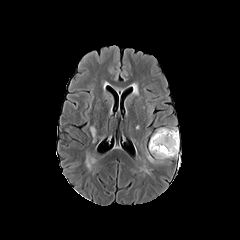
FLAIR magnetic resonance.
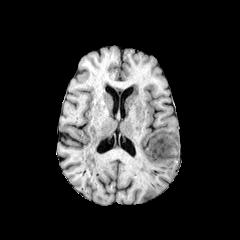
Same slice, T1-weighted MR image.
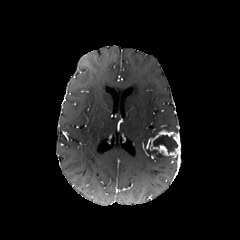
Post-contrast T1-weighted MR image.
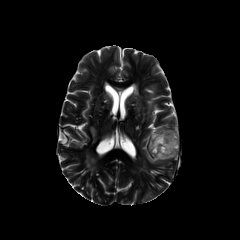
Same slice, T2-weighted MRI.
Image size 240x240
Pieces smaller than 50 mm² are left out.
enhancing_tumor:
  - (left=149, top=129, right=179, bottom=157)
necrotic_tumor_core:
  - (left=153, top=135, right=177, bottom=152)
peritumoral_edema:
  - (left=146, top=151, right=172, bottom=163)
  - (left=151, top=127, right=177, bottom=137)